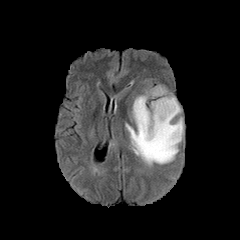
FLAIR MR.
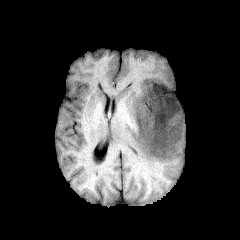
T1-weighted magnetic resonance.
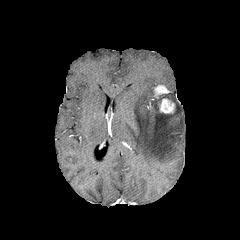
Same slice, post-contrast T1-weighted magnetic resonance.
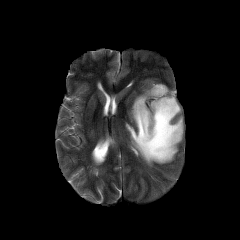
Same slice, T2-weighted MR.
Head; Axial plane
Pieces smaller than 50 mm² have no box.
{
  "peritumoral_edema": [
    "box=[125, 87, 183, 166]"
  ],
  "enhancing_tumor": [
    "box=[158, 98, 175, 113]",
    "box=[153, 85, 169, 98]"
  ]
}